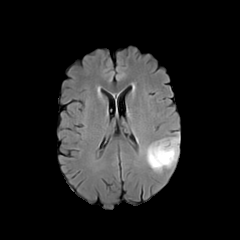
FLAIR MR.
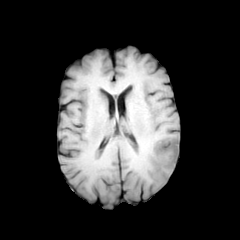
T1-weighted MR.
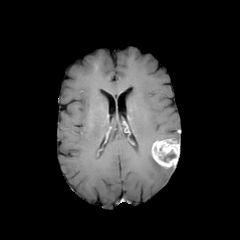
Post-contrast T1-weighted MR image.
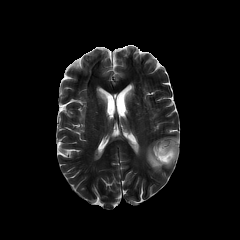
T2-weighted magnetic resonance.
Axial slice
* peritumoral edema: [x1=145, y1=142, x2=164, y2=172], [x1=158, y1=133, x2=179, y2=141]
* enhancing tumor: [x1=151, y1=139, x2=179, y2=167]
* necrotic tumor core: [x1=161, y1=152, x2=175, y2=161]